FLAIR magnetic resonance.
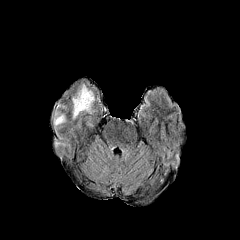
T1-weighted MRI.
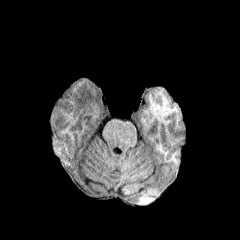
Post-contrast T1-weighted magnetic resonance.
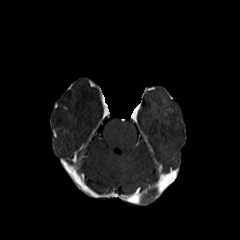
T2-weighted magnetic resonance.
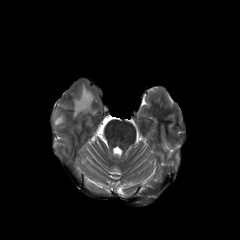
Image size 240x240
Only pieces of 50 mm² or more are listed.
Annotated regions:
- peritumoral edema: [53,110,65,126], [72,84,94,118]